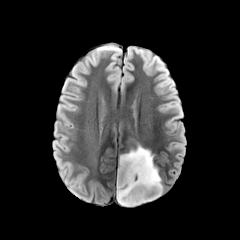
FLAIR MRI.
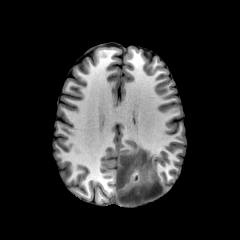
Same slice, T1-weighted magnetic resonance.
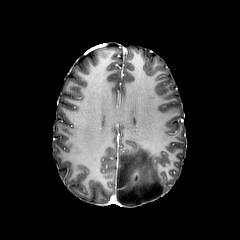
Post-contrast T1-weighted MR image of the same slice.
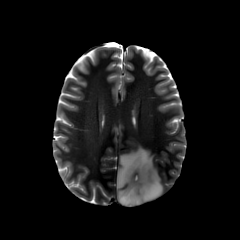
T2-weighted MR image.
Head | 240x240 px
peritumoral edema: (116,145,163,206)